Axial plane, 240x240
FLAIR MRI.
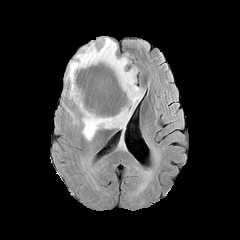
T1-weighted MRI.
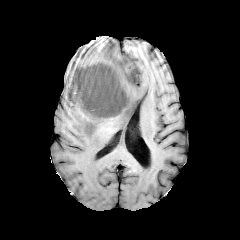
Post-contrast T1-weighted MR image.
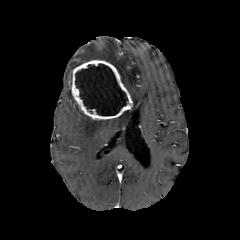
T2-weighted MR image.
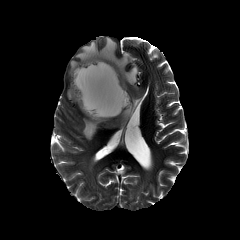
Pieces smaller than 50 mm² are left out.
Segmented structures:
• enhancing tumor: (x1=71, y1=59, x2=132, y2=120)
• peritumoral edema: (x1=66, y1=37, x2=143, y2=140)
• necrotic tumor core: (x1=75, y1=64, x2=127, y2=115)